Brain | 240x240 px | Slice index 82
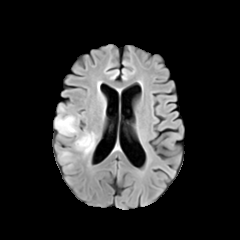
FLAIR MR image.
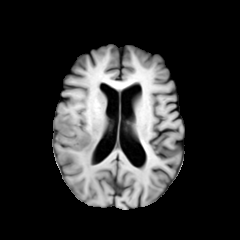
T1-weighted MR image.
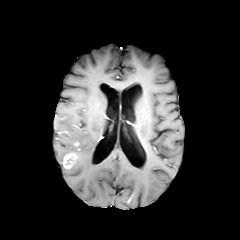
Same slice, post-contrast T1-weighted MRI.
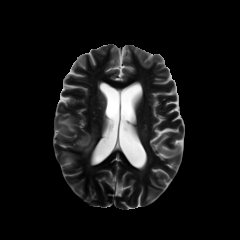
T2-weighted magnetic resonance.
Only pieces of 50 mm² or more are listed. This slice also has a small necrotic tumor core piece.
{
  "enhancing_tumor": [
    "box=[63, 154, 75, 168]"
  ],
  "peritumoral_edema": [
    "box=[55, 115, 77, 135]",
    "box=[60, 151, 71, 162]",
    "box=[75, 132, 96, 156]"
  ]
}